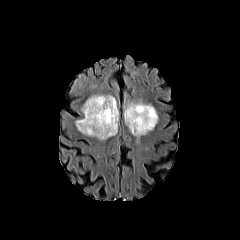
FLAIR MRI.
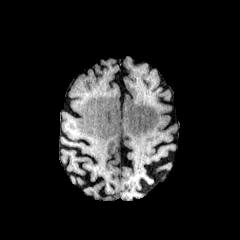
Same slice, T1-weighted magnetic resonance.
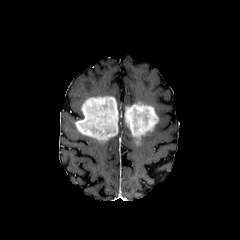
Post-contrast T1-weighted MR of the same slice.
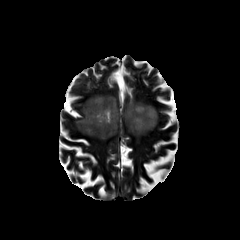
Same slice, T2-weighted MR image.
Head
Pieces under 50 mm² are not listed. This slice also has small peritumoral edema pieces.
<segmentation>
  <enhancing_tumor>75 96 118 141, 124 102 158 143</enhancing_tumor>
</segmentation>